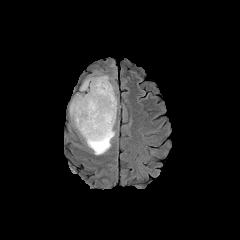
FLAIR MR image.
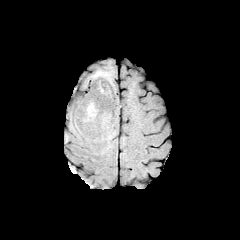
Same slice, T1-weighted MRI.
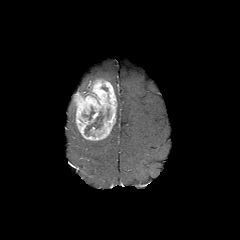
Post-contrast T1-weighted MRI.
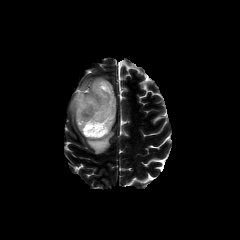
T2-weighted magnetic resonance.
Brain
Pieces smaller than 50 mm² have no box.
peritumoral_edema:
  - [85, 88, 118, 154]
  - [78, 75, 110, 92]
  - [70, 100, 77, 129]
enhancing_tumor:
  - [72, 78, 117, 140]
necrotic_tumor_core:
  - [83, 107, 94, 119]
  - [85, 112, 103, 135]